FLAIR MRI.
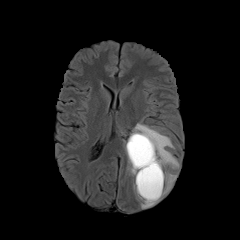
T1-weighted MR image.
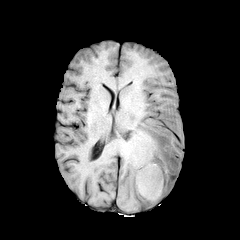
Post-contrast T1-weighted MRI.
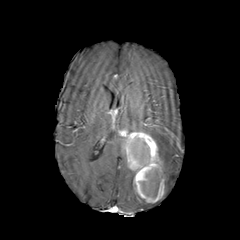
T2-weighted MRI.
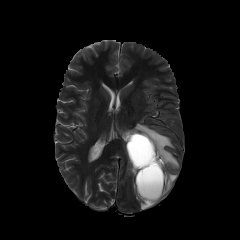
Head. Axial plane.
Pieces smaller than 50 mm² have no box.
Annotated regions:
- peritumoral edema: l=133, t=180, r=155, b=208; l=132, t=122, r=179, b=196
- enhancing tumor: l=125, t=132, r=165, b=202
- necrotic tumor core: l=128, t=135, r=151, b=169; l=137, t=168, r=161, b=198